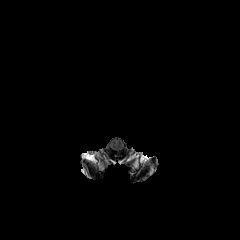
FLAIR magnetic resonance.
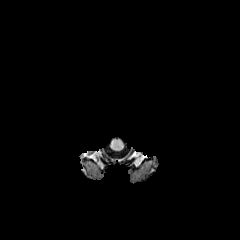
T1-weighted MR.
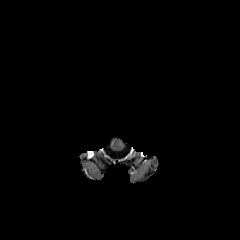
Post-contrast T1-weighted MR image.
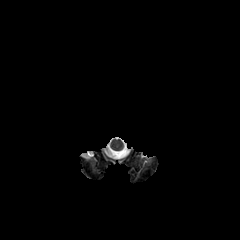
T2-weighted MR.
Head.
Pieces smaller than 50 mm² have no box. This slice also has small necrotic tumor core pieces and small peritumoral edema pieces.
- enhancing tumor: left=84, top=151, right=93, bottom=159